Head.
FLAIR MRI.
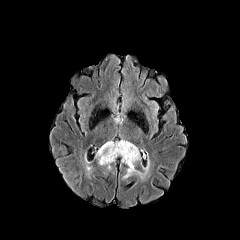
T1-weighted magnetic resonance.
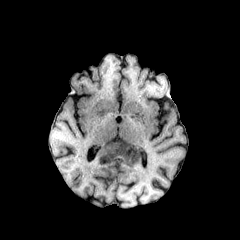
Post-contrast T1-weighted MR image.
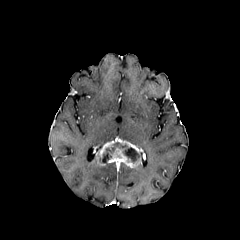
T2-weighted MR image.
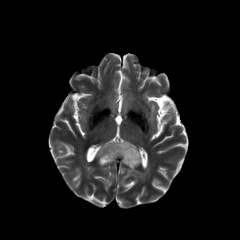
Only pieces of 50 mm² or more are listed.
<segmentation>
  <enhancing_tumor>x1=96 y1=139 x2=141 y2=167</enhancing_tumor>
  <necrotic_tumor_core>x1=112 y1=142 x2=127 y2=150, x1=124 y1=147 x2=139 y2=161, x1=102 y1=148 x2=111 y2=163</necrotic_tumor_core>
  <peritumoral_edema>x1=123 y1=163 x2=148 y2=178</peritumoral_edema>
</segmentation>